Head
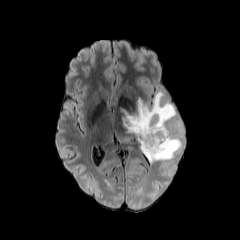
FLAIR MR image.
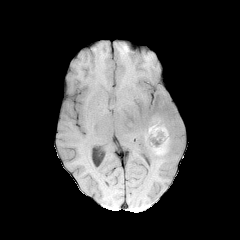
T1-weighted MR.
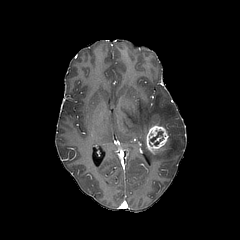
Post-contrast T1-weighted MR.
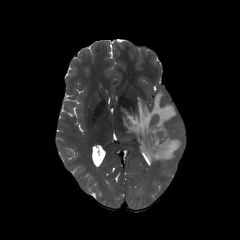
T2-weighted MR image of the same slice.
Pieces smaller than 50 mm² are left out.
The peritumoral edema is bounded by l=123, t=92, r=184, b=162. The enhancing tumor is located at l=145, t=125, r=168, b=153. The largest necrotic tumor core region lies within l=150, t=131, r=162, b=141.